FLAIR MR image.
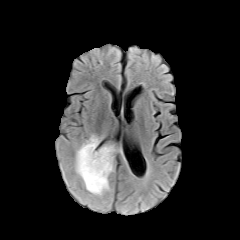
T1-weighted MR.
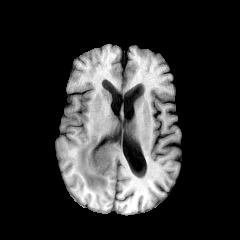
Post-contrast T1-weighted magnetic resonance.
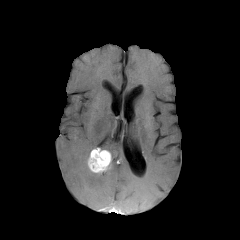
T2-weighted MRI.
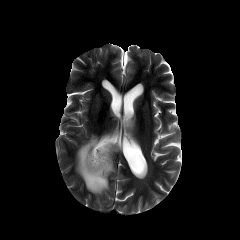
enhancing tumor at 87 147 111 173
peritumoral edema at 75 134 122 197